FLAIR MR.
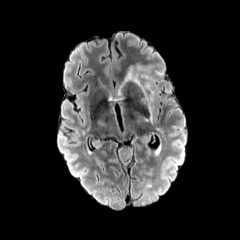
T1-weighted MR image.
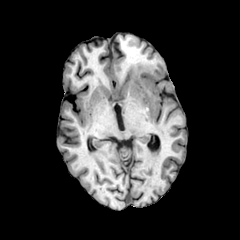
Post-contrast T1-weighted MR.
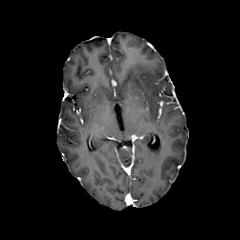
T2-weighted MR image.
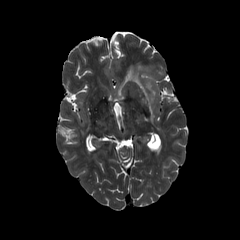
Head, 240x240
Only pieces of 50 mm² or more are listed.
- peritumoral edema: [123, 63, 155, 121]